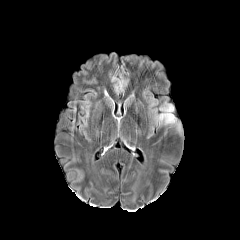
FLAIR magnetic resonance.
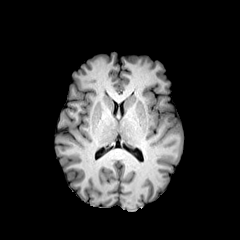
T1-weighted MR.
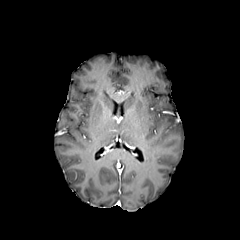
Post-contrast T1-weighted MRI.
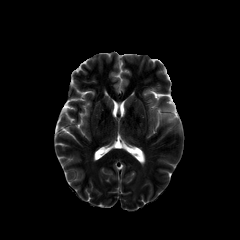
T2-weighted magnetic resonance.
Axial plane
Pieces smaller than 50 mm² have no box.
peritumoral_edema:
  - l=159, t=113, r=175, b=123
  - l=160, t=103, r=173, b=111